FLAIR MR.
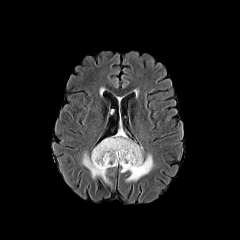
T1-weighted MR.
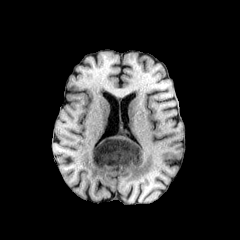
Post-contrast T1-weighted magnetic resonance.
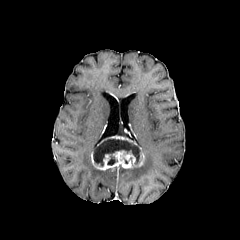
T2-weighted MR.
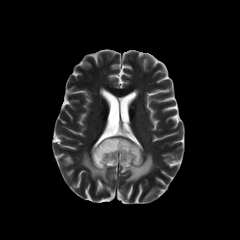
Brain; 240x240 px
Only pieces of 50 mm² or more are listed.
peritumoral edema — 82, 152, 111, 184; 120, 154, 153, 182
enhancing tumor — 91, 146, 144, 170; 97, 135, 138, 145
necrotic tumor core — 93, 139, 140, 166; 107, 156, 115, 165